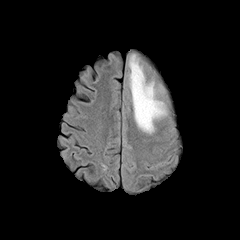
FLAIR MRI.
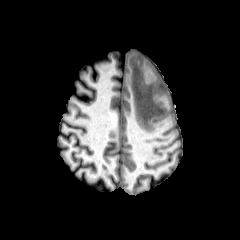
T1-weighted magnetic resonance.
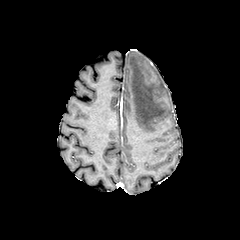
Same slice, post-contrast T1-weighted MR.
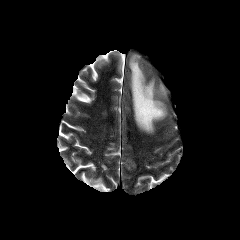
T2-weighted MR image.
peritumoral edema: bounding box x1=128, y1=54, x2=166, y2=133